Axial slice, Head
FLAIR MR.
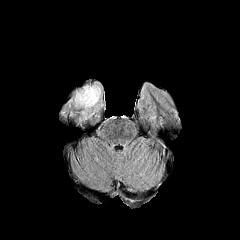
T1-weighted magnetic resonance.
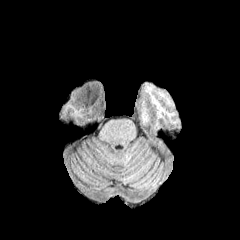
Post-contrast T1-weighted MR image.
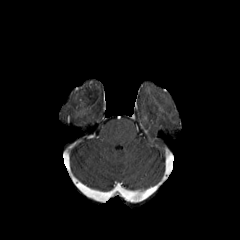
T2-weighted MRI.
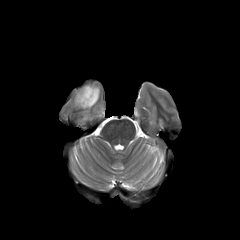
The peritumoral edema is located at bbox(70, 85, 102, 120). The necrotic tumor core is bounded by bbox(80, 88, 97, 106).